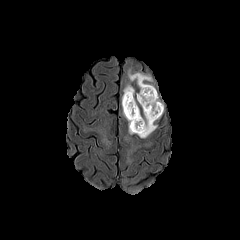
FLAIR MR.
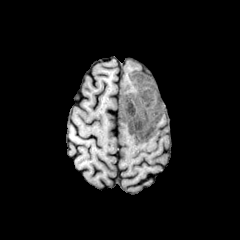
T1-weighted MRI.
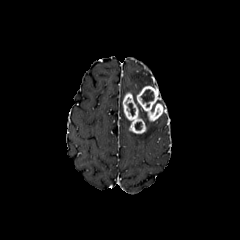
Same slice, post-contrast T1-weighted MRI.
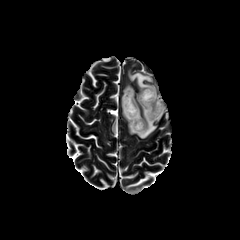
T2-weighted magnetic resonance of the same slice.
Brain
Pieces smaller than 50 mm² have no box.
• peritumoral edema: left=122, top=84, right=157, bottom=138; left=128, top=70, right=153, bottom=90
• enhancing tumor: left=122, top=92, right=146, bottom=133; left=136, top=86, right=164, bottom=121
• necrotic tumor core: left=141, top=89, right=153, bottom=102; left=128, top=103, right=134, bottom=115